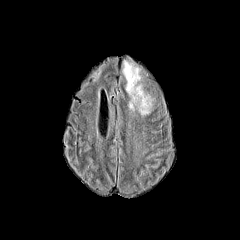
FLAIR MR image.
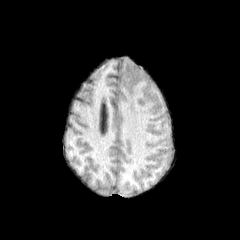
Same slice, T1-weighted MRI.
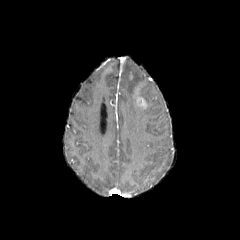
Post-contrast T1-weighted magnetic resonance.
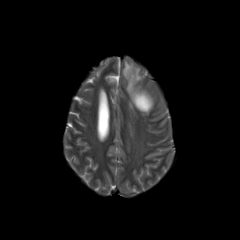
T2-weighted MR image.
240x240, Axial plane, Brain
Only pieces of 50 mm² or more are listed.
Findings:
- enhancing tumor: 136,96,147,108
- peritumoral edema: 122,58,152,115